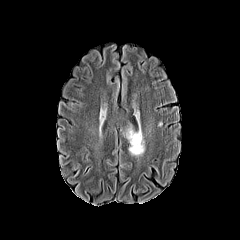
FLAIR MR image.
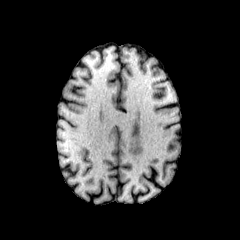
T1-weighted MR image of the same slice.
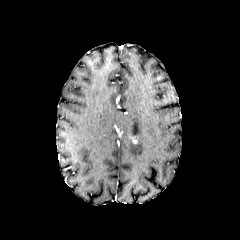
Post-contrast T1-weighted MR.
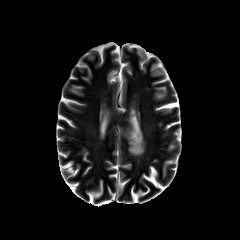
T2-weighted MR image.
240x240 px; Head
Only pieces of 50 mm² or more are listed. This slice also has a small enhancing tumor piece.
Segmented structures:
* peritumoral edema: rect(126, 128, 144, 155)